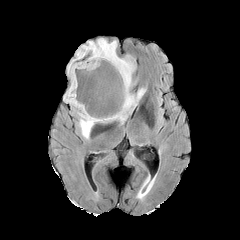
FLAIR MR.
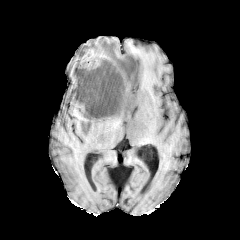
T1-weighted magnetic resonance of the same slice.
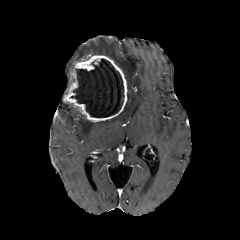
Post-contrast T1-weighted MR.
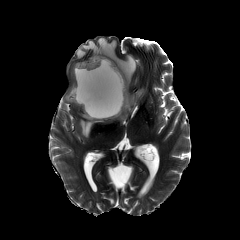
T2-weighted magnetic resonance.
Brain; Axial view
necrotic_tumor_core:
  - l=70, t=59, r=123, b=117
peritumoral_edema:
  - l=67, t=38, r=145, b=123
  - l=78, t=111, r=94, b=138
enhancing_tumor:
  - l=63, t=55, r=127, b=122